Image covers 240 mm x 240 mm | Image size 240x240 | Brain
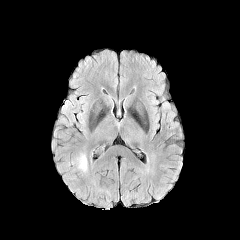
FLAIR MR.
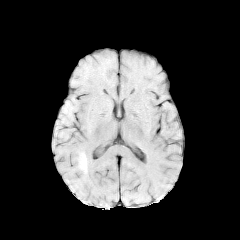
T1-weighted MRI.
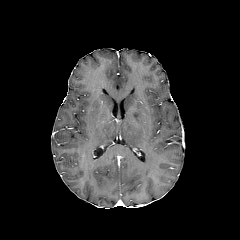
Post-contrast T1-weighted MR image.
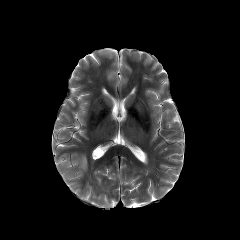
T2-weighted magnetic resonance.
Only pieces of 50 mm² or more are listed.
peritumoral edema at 71 153 87 174